FLAIR magnetic resonance.
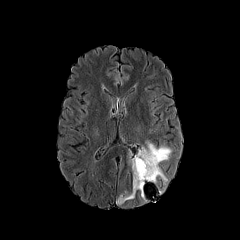
T1-weighted magnetic resonance.
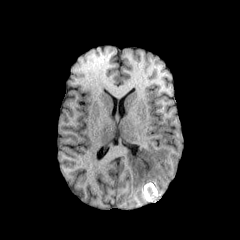
Post-contrast T1-weighted MR image.
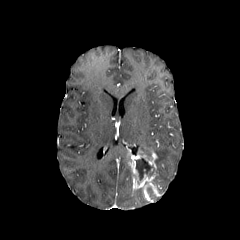
T2-weighted MR.
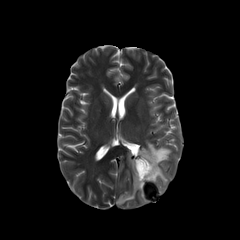
240x240 px.
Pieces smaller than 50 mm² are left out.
enhancing tumor = <bbox>128, 148, 158, 190</bbox>
peritumoral edema = <bbox>116, 190, 136, 205</bbox>, <bbox>137, 188, 145, 202</bbox>, <bbox>142, 141, 171, 185</bbox>
necrotic tumor core = <bbox>136, 158, 153, 180</bbox>